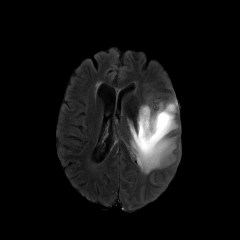
FLAIR MR.
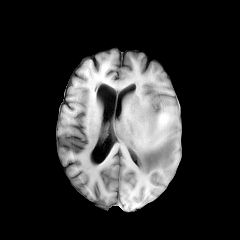
T1-weighted MR image.
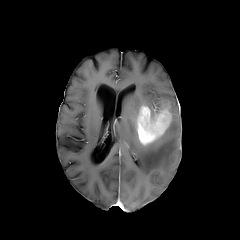
Post-contrast T1-weighted MR image.
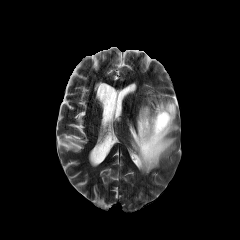
T2-weighted MRI.
Brain
peritumoral edema — [128,98,178,174]
enhancing tumor — [137,106,171,144]